Image width 240 mm, 1.00 mm slice spacing; Axial plane; Slice index 82
FLAIR magnetic resonance.
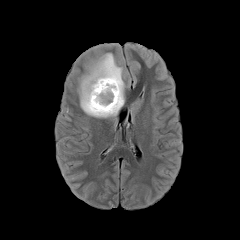
T1-weighted magnetic resonance.
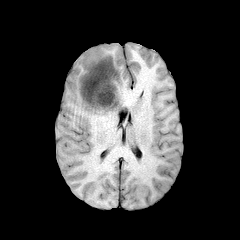
Post-contrast T1-weighted MRI.
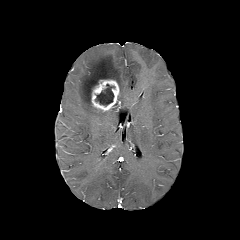
T2-weighted MR image.
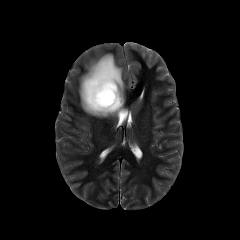
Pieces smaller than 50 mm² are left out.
necrotic tumor core — l=95, t=84, r=114, b=105
enhancing tumor — l=91, t=79, r=120, b=111
peritumoral edema — l=78, t=53, r=125, b=117